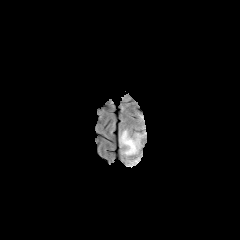
FLAIR MR image.
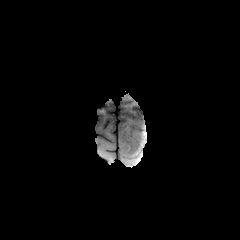
T1-weighted MRI.
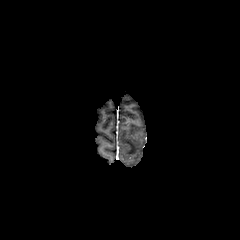
Post-contrast T1-weighted MRI.
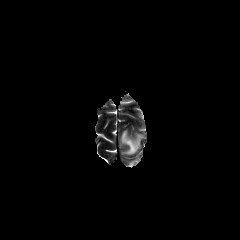
T2-weighted magnetic resonance.
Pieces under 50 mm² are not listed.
The largest peritumoral edema region is bounded by x1=120 y1=130 x2=143 y2=155.